Axial plane; 240x240; Brain; Image width 240 mm
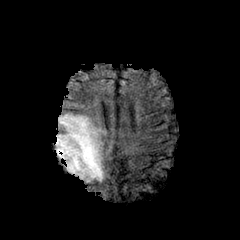
FLAIR MRI.
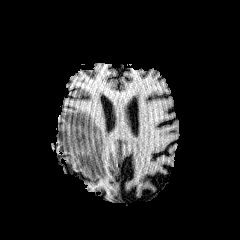
Same slice, T1-weighted magnetic resonance.
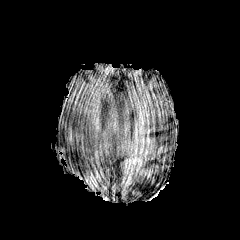
Post-contrast T1-weighted MR of the same slice.
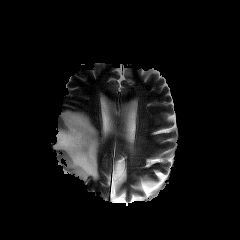
Same slice, T2-weighted magnetic resonance.
The enhancing tumor is located at left=65, top=128, right=82, bottom=147. The peritumoral edema appears at left=55, top=111, right=102, bottom=182.